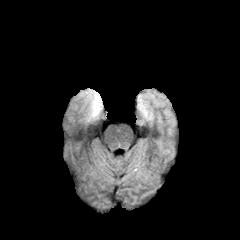
FLAIR MR.
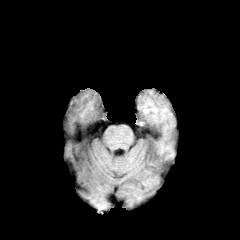
T1-weighted MRI of the same slice.
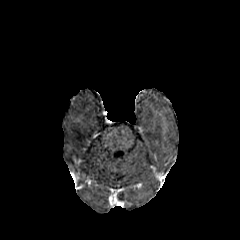
Post-contrast T1-weighted MR of the same slice.
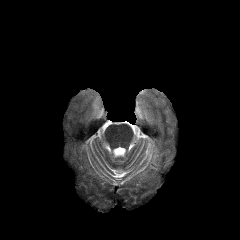
Same slice, T2-weighted MR image.
Axial slice
2 peritumoral edema regions appear at 139 103 151 119, 82 89 102 121.